Image size 240x240. Head.
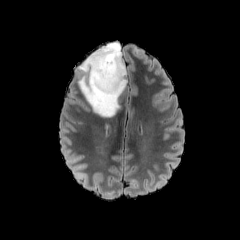
FLAIR MR image.
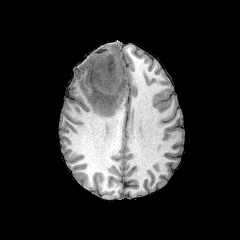
T1-weighted MR image of the same slice.
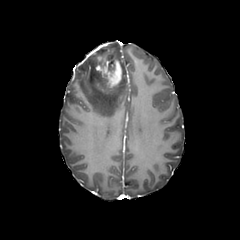
Post-contrast T1-weighted MR image.
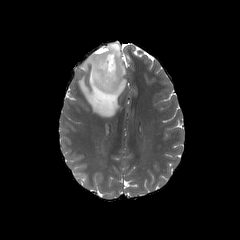
T2-weighted MR image.
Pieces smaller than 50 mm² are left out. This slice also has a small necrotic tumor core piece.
Annotated regions:
* peritumoral edema: left=79, top=42, right=126, bottom=117
* enhancing tumor: left=96, top=59, right=122, bottom=88